FLAIR MRI.
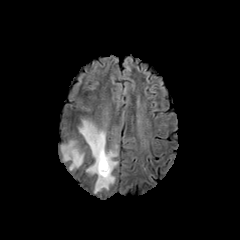
T1-weighted MR.
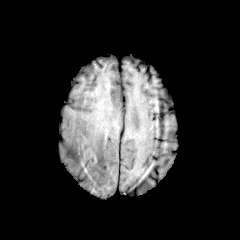
Post-contrast T1-weighted MR.
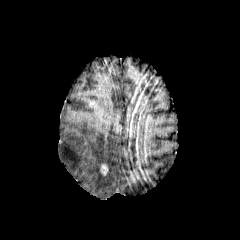
T2-weighted MR image.
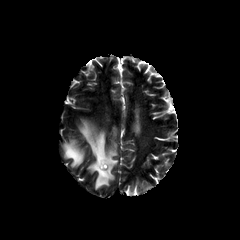
Brain
2 peritumoral edema regions are located at [61,139,84,170], [78,119,117,192]. The enhancing tumor appears at [100,164,108,175].